Axial slice, Image width 240 mm
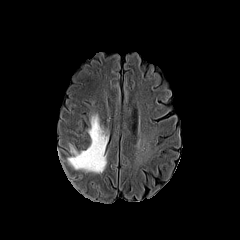
FLAIR MR.
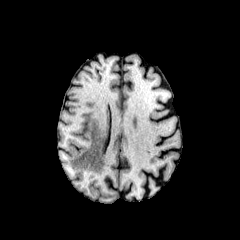
T1-weighted MR image.
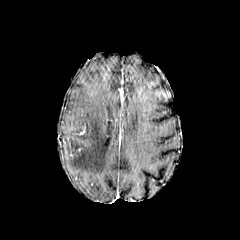
Post-contrast T1-weighted MRI of the same slice.
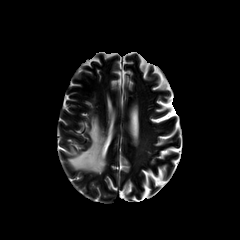
Same slice, T2-weighted MR image.
The peritumoral edema is bounded by box(68, 115, 107, 173).